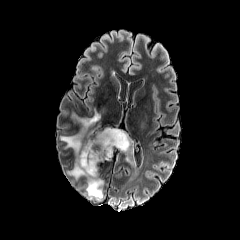
FLAIR magnetic resonance.
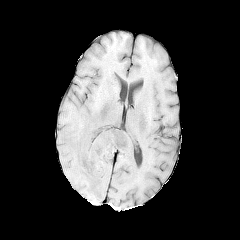
Same slice, T1-weighted magnetic resonance.
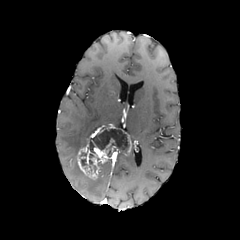
Post-contrast T1-weighted MR.
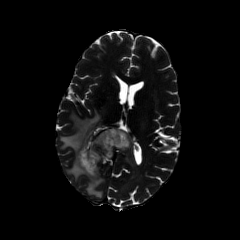
T2-weighted MR.
Brain. Image size 240x240. Axial plane.
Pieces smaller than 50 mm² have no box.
* enhancing tumor: 77, 127, 133, 179
* peritumoral edema: 60, 109, 100, 178; 86, 179, 102, 197
* necrotic tumor core: 88, 129, 128, 153